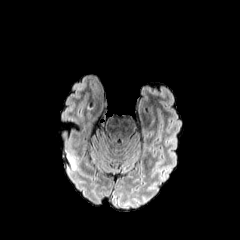
FLAIR magnetic resonance.
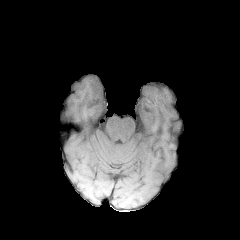
T1-weighted MR image of the same slice.
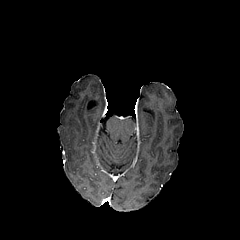
Same slice, post-contrast T1-weighted MRI.
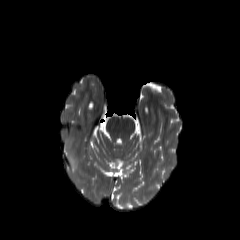
T2-weighted magnetic resonance.
Axial plane
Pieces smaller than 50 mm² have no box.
peritumoral edema — x1=67, y1=152, x2=77, y2=170